Head, Slice index 88
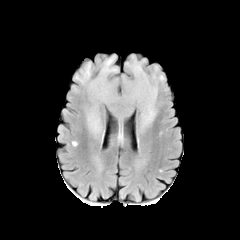
FLAIR MRI.
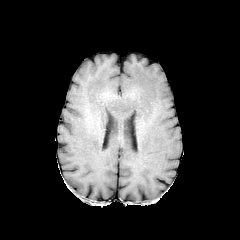
T1-weighted MR image.
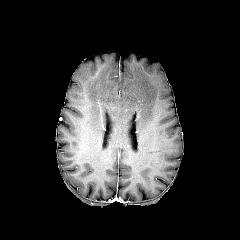
Post-contrast T1-weighted MR image of the same slice.
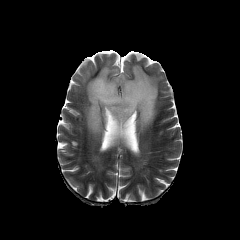
T2-weighted MR.
peritumoral_edema:
  - x1=75 y1=56 x2=164 y2=142